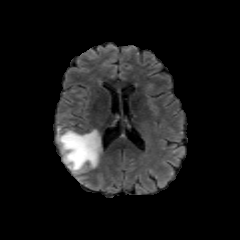
FLAIR MR image.
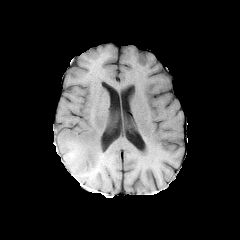
T1-weighted magnetic resonance.
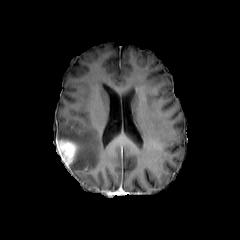
Post-contrast T1-weighted MR of the same slice.
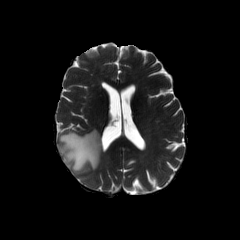
T2-weighted MRI.
Segmented structures:
- enhancing tumor: (left=57, top=139, right=78, bottom=169)
- peritumoral edema: (left=57, top=126, right=101, bottom=179)